Brain, Axial view, Image covers 240 mm x 240 mm, Image size 240x240
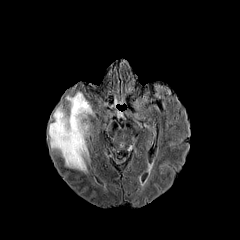
FLAIR MR image.
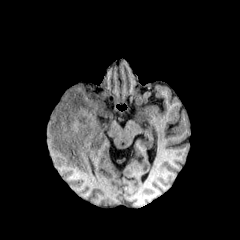
Same slice, T1-weighted magnetic resonance.
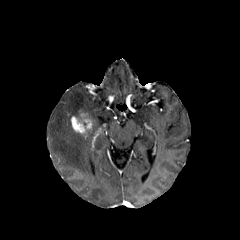
Same slice, post-contrast T1-weighted magnetic resonance.
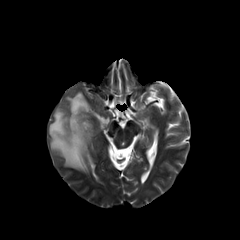
T2-weighted MR image.
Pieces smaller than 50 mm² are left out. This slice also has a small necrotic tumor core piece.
The enhancing tumor appears at region(71, 113, 91, 134). The largest peritumoral edema region is bounded by region(49, 92, 93, 172).